Image width 240 mm, 1.00 mm slice spacing; Image size 240x240; Brain
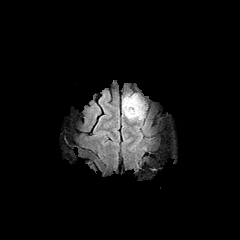
FLAIR MR image.
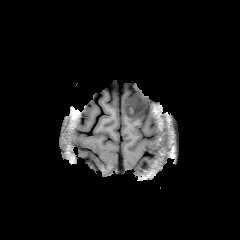
T1-weighted magnetic resonance.
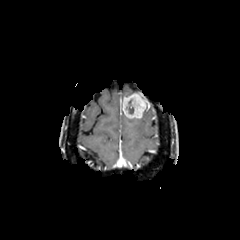
Post-contrast T1-weighted MRI of the same slice.
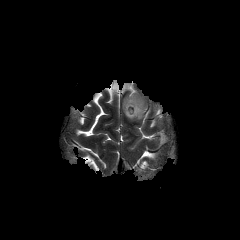
Same slice, T2-weighted MR.
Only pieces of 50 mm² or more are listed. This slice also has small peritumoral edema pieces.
enhancing tumor = rect(122, 93, 147, 118)
necrotic tumor core = rect(128, 100, 133, 113)